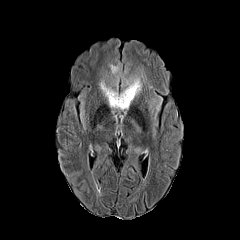
FLAIR magnetic resonance.
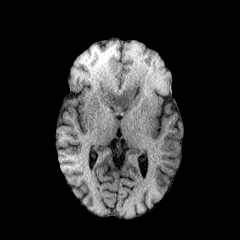
T1-weighted MR of the same slice.
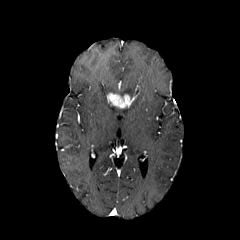
Same slice, post-contrast T1-weighted MR image.
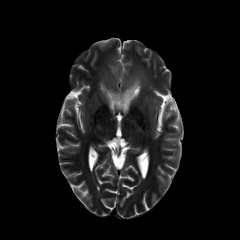
T2-weighted MRI of the same slice.
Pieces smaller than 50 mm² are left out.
enhancing tumor: <box>106,92,136,108</box>
peritumoral edema: <box>120,76,141,95</box>, <box>110,64,118,73</box>, <box>100,81,117,94</box>